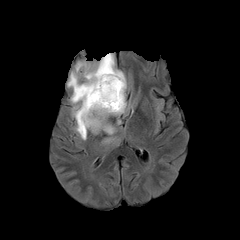
FLAIR magnetic resonance.
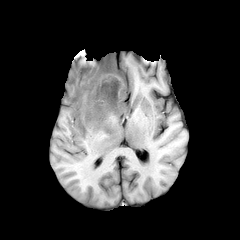
T1-weighted MR image.
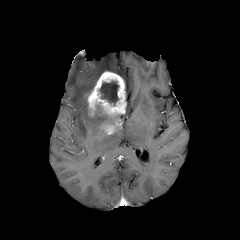
Post-contrast T1-weighted MR image.
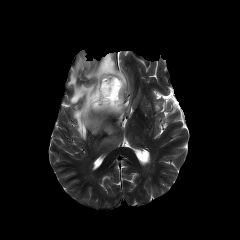
Same slice, T2-weighted MRI.
Axial view, Head
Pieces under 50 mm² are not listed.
{"necrotic_tumor_core": ["region(93, 80, 120, 108)"], "enhancing_tumor": ["region(98, 119, 120, 134)", "region(81, 71, 126, 117)"], "peritumoral_edema": ["region(67, 53, 126, 140)"]}